Axial plane; Slice 84/155; Image covers 240 mm x 240 mm
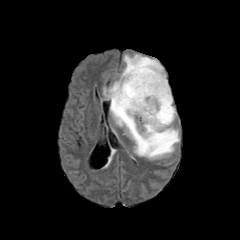
FLAIR MRI.
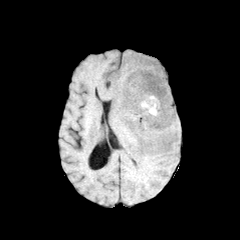
T1-weighted MR.
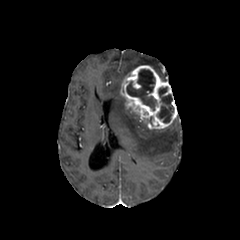
Post-contrast T1-weighted MR image.
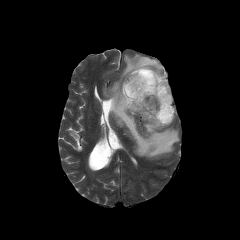
T2-weighted MR image.
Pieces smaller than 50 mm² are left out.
The 2 largest necrotic tumor core regions appear at l=126, t=69, r=156, b=110; l=157, t=87, r=173, b=122. The enhancing tumor appears at l=120, t=65, r=177, b=129. The peritumoral edema is at l=103, t=54, r=179, b=159.